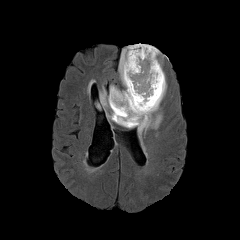
FLAIR magnetic resonance.
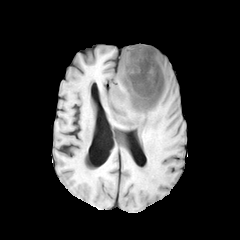
T1-weighted MR image.
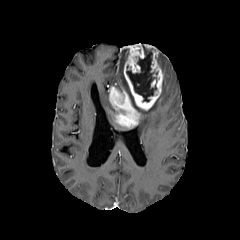
Post-contrast T1-weighted MRI.
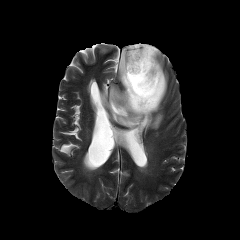
T2-weighted MR image.
Image size 240x240, Axial slice
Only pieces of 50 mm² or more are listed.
peritumoral_edema:
  - box(100, 90, 114, 121)
  - box(136, 58, 166, 137)
  - box(119, 48, 127, 90)
necrotic_tumor_core:
  - box(126, 44, 156, 101)
enhancing_tumor:
  - box(109, 43, 163, 128)